FLAIR magnetic resonance.
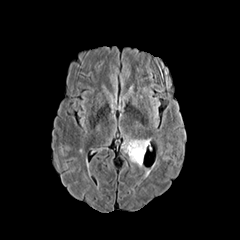
T1-weighted MRI.
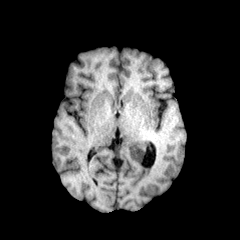
Post-contrast T1-weighted MR image.
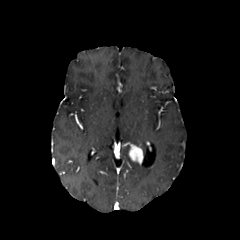
T2-weighted MRI.
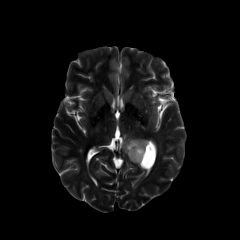
240x240 px, Brain, Axial slice
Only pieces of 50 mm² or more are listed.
enhancing_tumor:
  - box=[128, 143, 143, 164]
peritumoral_edema:
  - box=[129, 140, 148, 154]